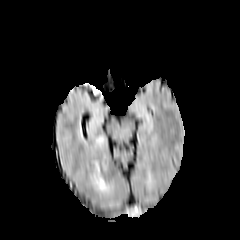
FLAIR MR image.
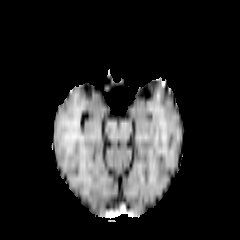
T1-weighted MR image of the same slice.
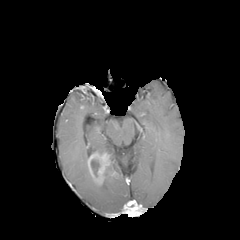
Post-contrast T1-weighted MR image.
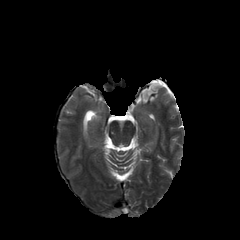
T2-weighted MR image of the same slice.
Axial plane
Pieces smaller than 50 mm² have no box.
Findings:
* peritumoral edema: 95, 138, 103, 147; 93, 178, 105, 190
* necrotic tumor core: 90, 159, 100, 177
* enhancing tumor: 88, 153, 108, 183